Axial view
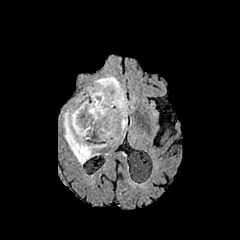
FLAIR magnetic resonance.
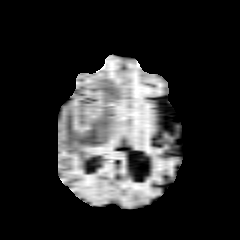
T1-weighted MR image.
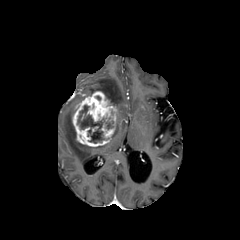
Post-contrast T1-weighted MRI of the same slice.
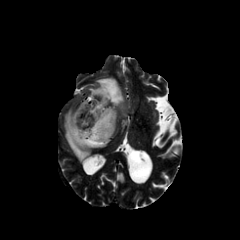
Same slice, T2-weighted MRI.
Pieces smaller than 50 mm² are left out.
enhancing tumor — x1=72, y1=91, x2=117, y2=146
necrotic tumor core — x1=78, y1=105, x2=104, y2=143
peritumoral edema — x1=64, y1=108, x2=107, y2=164; x1=87, y1=76, x2=132, y2=136